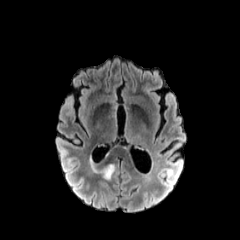
FLAIR magnetic resonance.
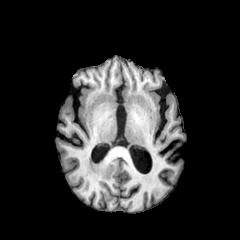
Same slice, T1-weighted MRI.
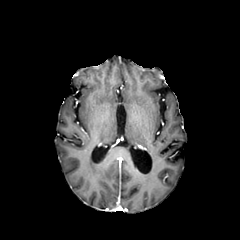
Post-contrast T1-weighted MR.
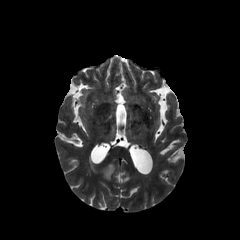
T2-weighted MR of the same slice.
Axial slice, Image size 240x240
The peritumoral edema is bounded by bbox(90, 159, 114, 179).